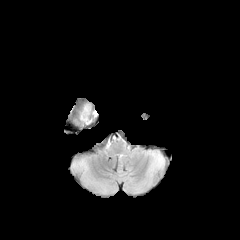
FLAIR MRI.
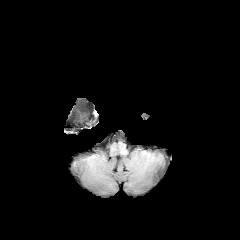
T1-weighted MR of the same slice.
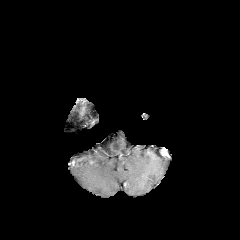
Post-contrast T1-weighted magnetic resonance of the same slice.
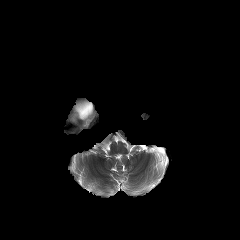
T2-weighted MRI.
240x240 px | Axial view | Head
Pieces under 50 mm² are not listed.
peritumoral_edema:
  - 79, 104, 91, 123